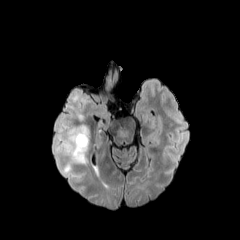
FLAIR MR image.
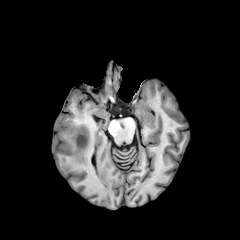
T1-weighted MR.
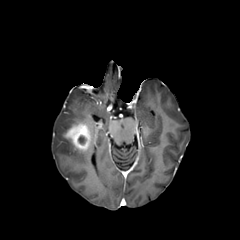
Post-contrast T1-weighted MR image.
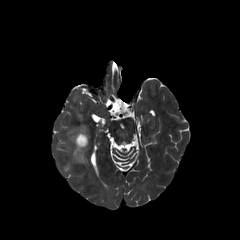
T2-weighted MR image of the same slice.
Head
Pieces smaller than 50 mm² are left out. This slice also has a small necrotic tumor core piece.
The enhancing tumor lies within bbox(64, 122, 91, 151). The 2 largest peritumoral edema regions appear at bbox(61, 123, 86, 172); bbox(69, 106, 83, 121).